Slice 89/155.
FLAIR magnetic resonance.
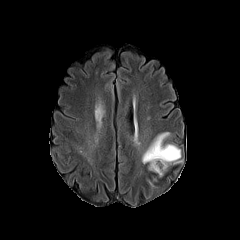
T1-weighted MRI.
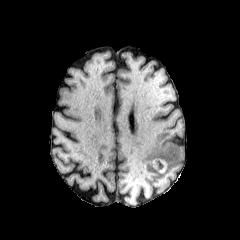
Post-contrast T1-weighted MR.
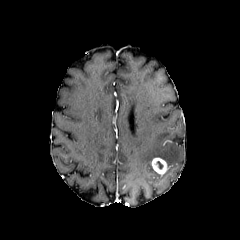
T2-weighted MRI.
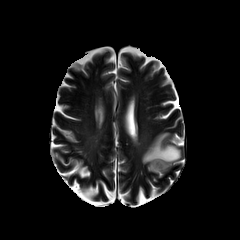
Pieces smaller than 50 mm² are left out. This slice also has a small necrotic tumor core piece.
{"peritumoral_edema": ["x1=142, y1=132, x2=182, y2=171"], "enhancing_tumor": ["x1=151, y1=157, x2=167, y2=175"]}